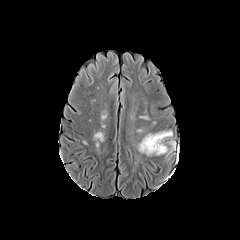
FLAIR magnetic resonance.
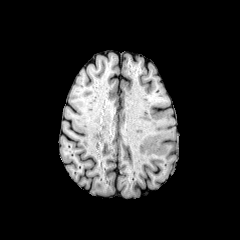
T1-weighted MRI of the same slice.
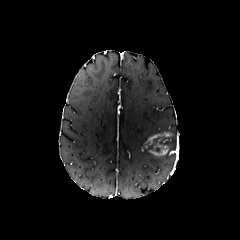
Post-contrast T1-weighted MRI of the same slice.
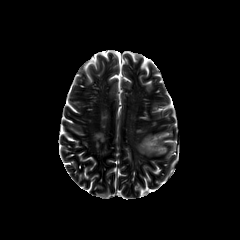
Same slice, T2-weighted MR image.
Brain
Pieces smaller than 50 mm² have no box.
Segmented structures:
* necrotic tumor core: (left=148, top=137, right=159, bottom=150)
* peritumoral edema: (left=138, top=134, right=152, bottom=155)
* enhancing tumor: (left=141, top=132, right=171, bottom=155)